FLAIR MR image.
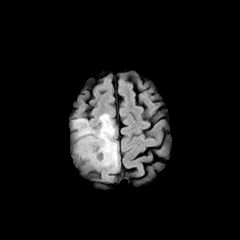
T1-weighted MR image.
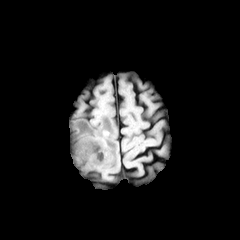
Post-contrast T1-weighted MR image.
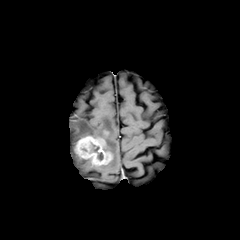
T2-weighted MR.
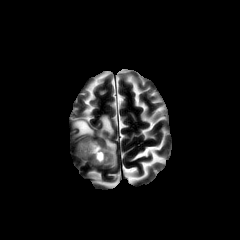
Axial view
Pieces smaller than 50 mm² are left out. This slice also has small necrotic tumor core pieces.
The enhancing tumor lies within 75 136 112 165. The largest peritumoral edema region is located at 73 114 118 170.